240x240. Slice index 67. Axial plane. Brain.
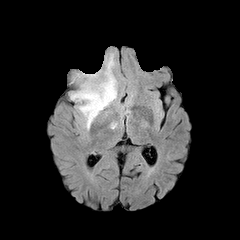
FLAIR magnetic resonance.
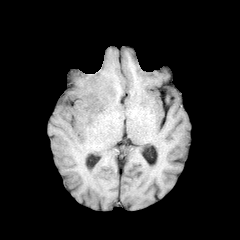
T1-weighted MRI of the same slice.
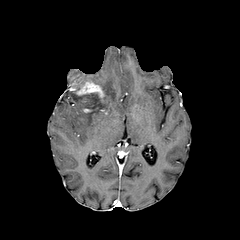
Post-contrast T1-weighted magnetic resonance.
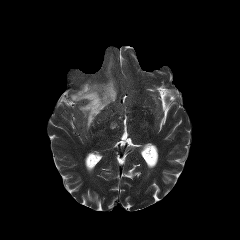
Same slice, T2-weighted MRI.
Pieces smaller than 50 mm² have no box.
{"peritumoral_edema": ["70, 53, 118, 129"], "enhancing_tumor": ["76, 82, 104, 97"]}